Slice 72 of 155, 240x240 px, Axial slice, Image covers 240 mm x 240 mm
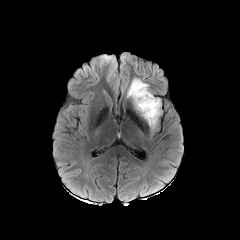
FLAIR magnetic resonance.
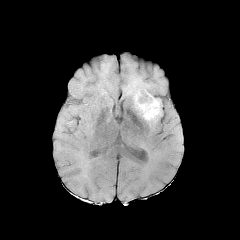
Same slice, T1-weighted magnetic resonance.
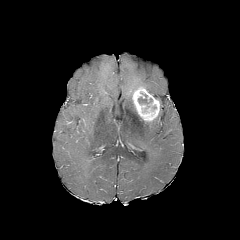
Post-contrast T1-weighted MR image of the same slice.
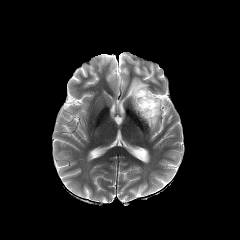
T2-weighted magnetic resonance.
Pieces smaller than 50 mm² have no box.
The largest necrotic tumor core region is at rect(138, 92, 152, 111). The enhancing tumor is bounded by rect(132, 87, 159, 121). 2 peritumoral edema regions are bounded by rect(148, 97, 161, 129); rect(126, 78, 151, 97).